Image size 240x240 | Slice 75/155 | Axial slice
FLAIR MR image.
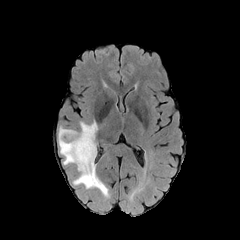
T1-weighted MR.
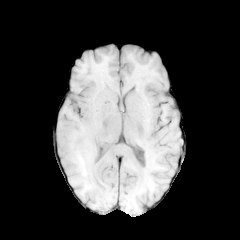
Post-contrast T1-weighted MR.
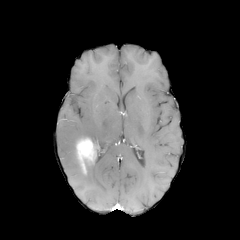
T2-weighted MR image.
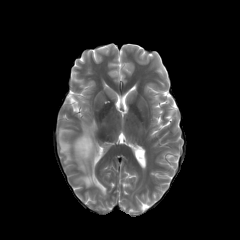
The enhancing tumor is bounded by box(76, 137, 96, 173). The peritumoral edema is at box(58, 119, 109, 197).